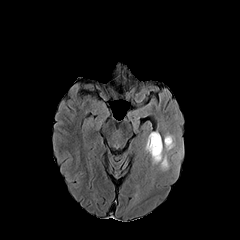
FLAIR MR image.
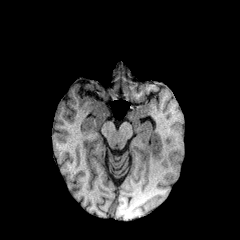
Same slice, T1-weighted MRI.
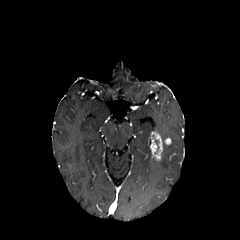
Post-contrast T1-weighted MR image.
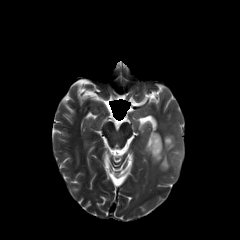
T2-weighted magnetic resonance.
Axial slice
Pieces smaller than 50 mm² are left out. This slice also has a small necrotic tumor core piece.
<segmentation>
  <enhancing_tumor>bbox(148, 132, 162, 161)</enhancing_tumor>
  <peritumoral_edema>bbox(151, 133, 175, 170); bbox(145, 135, 151, 156)</peritumoral_edema>
</segmentation>